FLAIR magnetic resonance.
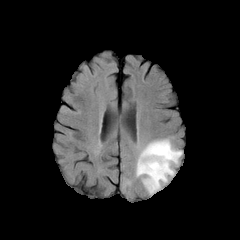
T1-weighted magnetic resonance.
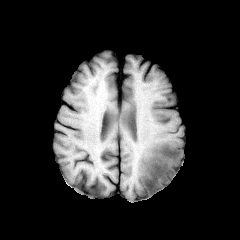
Post-contrast T1-weighted MR.
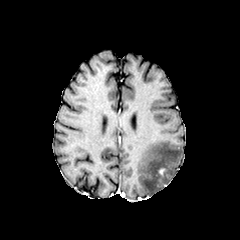
T2-weighted magnetic resonance.
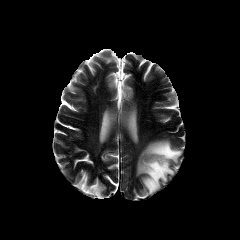
Axial plane
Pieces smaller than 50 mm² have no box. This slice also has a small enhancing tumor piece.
<segmentation>
  <peritumoral_edema>x1=136 y1=139 x2=182 y2=195</peritumoral_edema>
</segmentation>